FLAIR MR.
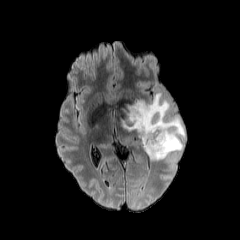
T1-weighted MRI.
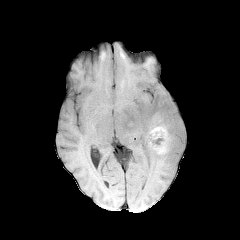
Post-contrast T1-weighted magnetic resonance.
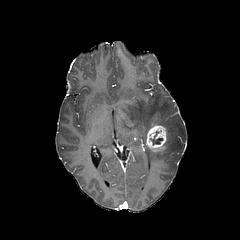
T2-weighted MR.
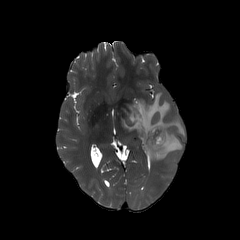
Head.
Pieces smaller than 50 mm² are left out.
necrotic tumor core: bounding box box(150, 138, 162, 144)
peritumoral edema: bounding box box(123, 92, 185, 160)
enhancing tumor: bounding box box(146, 125, 166, 152)